Head
FLAIR MR image.
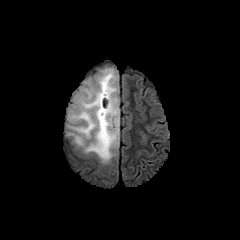
T1-weighted magnetic resonance.
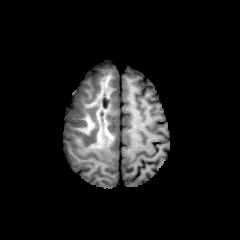
Post-contrast T1-weighted magnetic resonance.
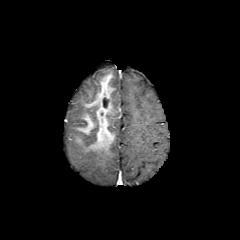
T2-weighted MR image.
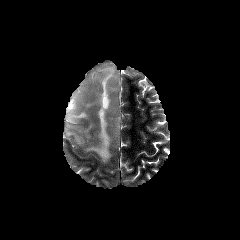
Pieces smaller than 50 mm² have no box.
<segmentation>
  <necrotic_tumor_core>102 97 110 108</necrotic_tumor_core>
  <enhancing_tumor>96 94 112 119</enhancing_tumor>
  <peritumoral_edema>65 66 119 163</peritumoral_edema>
</segmentation>